Brain | Axial plane | Image width 240 mm | Slice 66/155
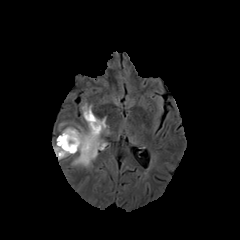
FLAIR magnetic resonance.
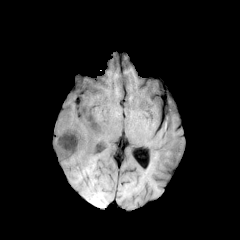
T1-weighted MRI.
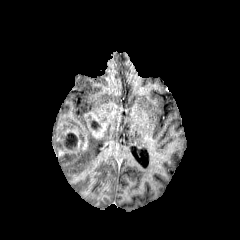
Post-contrast T1-weighted MR.
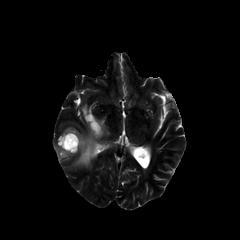
T2-weighted MR.
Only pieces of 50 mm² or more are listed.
necrotic_tumor_core:
  - x1=64, y1=133, x2=77, y2=148
peritumoral_edema:
  - x1=81, y1=103, x2=92, y2=123
  - x1=72, y1=125, x2=107, y2=167
enhancing_tumor:
  - x1=84, y1=112, x2=105, y2=137
  - x1=57, y1=129, x2=87, y2=156